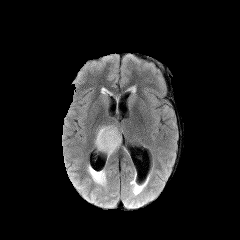
FLAIR MR image.
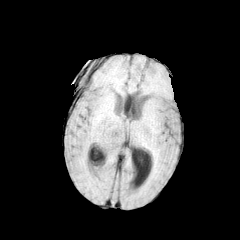
Same slice, T1-weighted magnetic resonance.
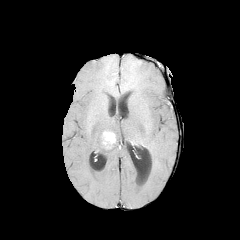
Post-contrast T1-weighted MR image of the same slice.
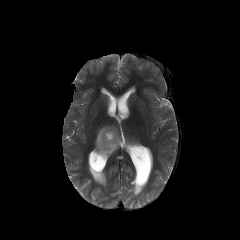
T2-weighted MR.
Axial slice
peritumoral edema: 95,125,121,157 | enhancing tumor: 102,131,115,148